Axial view; Image size 240x240; Head
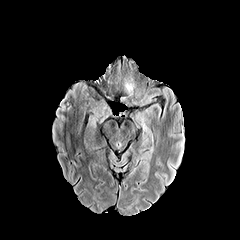
FLAIR MR image.
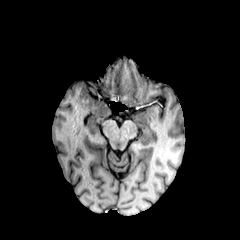
T1-weighted magnetic resonance.
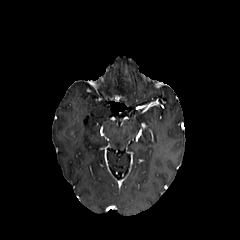
Post-contrast T1-weighted MR of the same slice.
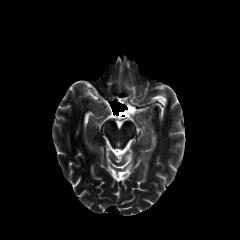
T2-weighted MR of the same slice.
Annotated regions:
• peritumoral edema: left=124, top=81, right=134, bottom=96